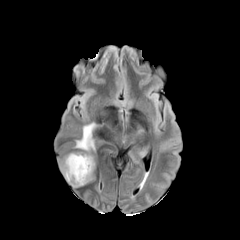
FLAIR MRI.
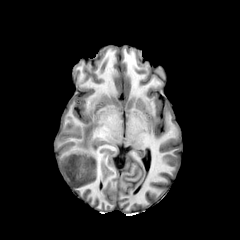
Same slice, T1-weighted MRI.
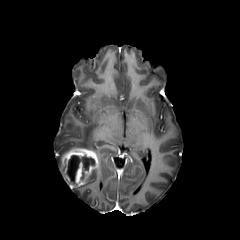
Same slice, post-contrast T1-weighted magnetic resonance.
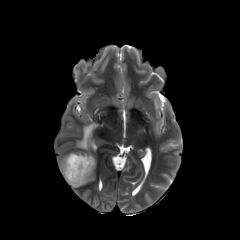
T2-weighted magnetic resonance.
Axial slice, Head, Image size 240x240
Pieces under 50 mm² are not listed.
necrotic tumor core: bbox(64, 155, 95, 183) | peritumoral edema: bbox(74, 123, 97, 151) | enhancing tumor: bbox(61, 148, 97, 187)